FLAIR MR.
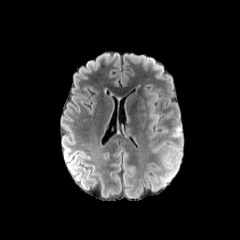
T1-weighted MR.
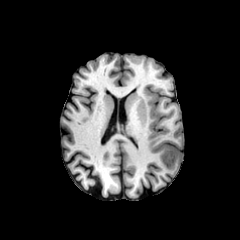
Post-contrast T1-weighted magnetic resonance.
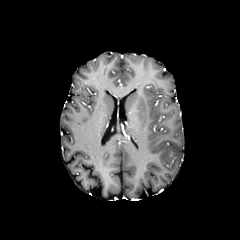
T2-weighted MR.
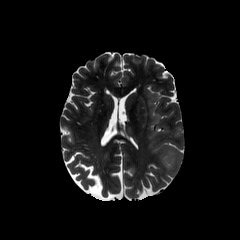
240x240 px; Axial view
peritumoral_edema:
  - (left=159, top=147, right=180, bottom=168)
  - (left=173, top=127, right=183, bottom=137)
  - (left=143, top=86, right=159, bottom=119)